Brain; Slice 45/155
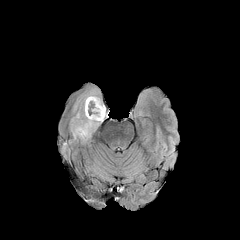
FLAIR MRI.
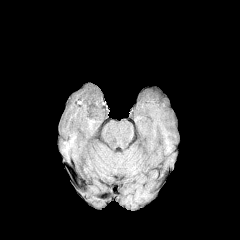
Same slice, T1-weighted MR image.
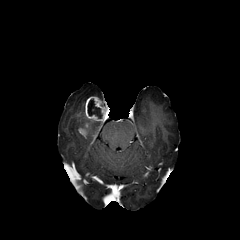
Post-contrast T1-weighted MR image.
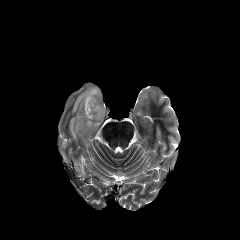
Same slice, T2-weighted magnetic resonance.
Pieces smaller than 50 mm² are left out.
<segmentation>
  <necrotic_tumor_core>88:99:102:118</necrotic_tumor_core>
  <enhancing_tumor>78:122:88:137, 85:96:108:121</enhancing_tumor>
  <peritumoral_edema>70:88:101:141</peritumoral_edema>
</segmentation>